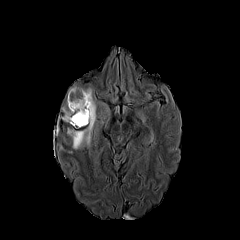
FLAIR MR image.
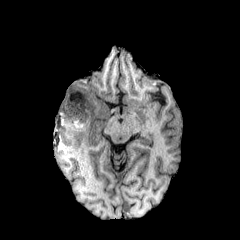
T1-weighted MR.
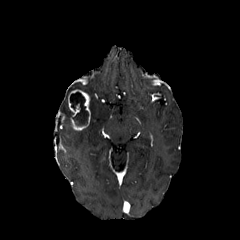
Same slice, post-contrast T1-weighted MRI.
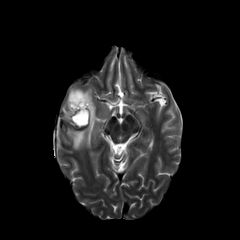
T2-weighted MRI.
necrotic tumor core: bounding box region(70, 92, 88, 126)
enhancing tumor: bounding box region(68, 89, 90, 130)
peritumoral edema: bounding box region(61, 100, 72, 124); region(67, 86, 96, 149)